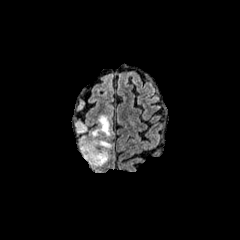
FLAIR MR image.
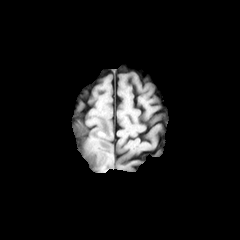
T1-weighted MRI of the same slice.
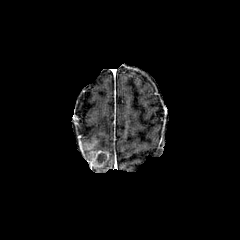
Same slice, post-contrast T1-weighted magnetic resonance.
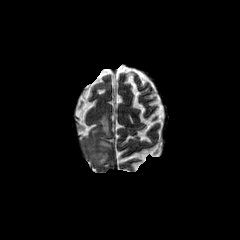
T2-weighted MR.
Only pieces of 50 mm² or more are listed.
The enhancing tumor is located at {"x1": 79, "y1": 138, "x2": 109, "y2": 167}. The 2 largest peritumoral edema regions appear at {"x1": 98, "y1": 140, "x2": 111, "y2": 149}, {"x1": 91, "y1": 115, "x2": 110, "y2": 137}. The necrotic tumor core appears at {"x1": 97, "y1": 153, "x2": 106, "y2": 163}.